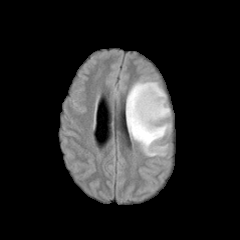
FLAIR MR image.
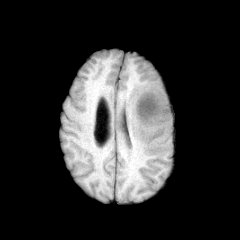
T1-weighted MR of the same slice.
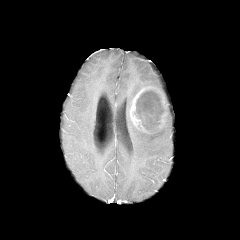
Post-contrast T1-weighted MRI.
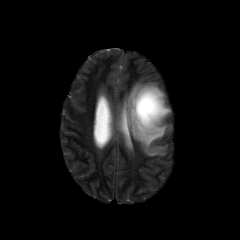
T2-weighted MR of the same slice.
Image size 240x240. Axial view.
necrotic tumor core: l=135, t=91, r=160, b=125
enhancing tumor: l=130, t=86, r=167, b=131
peritumoral edema: l=126, t=80, r=171, b=156